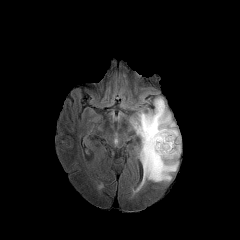
FLAIR MR.
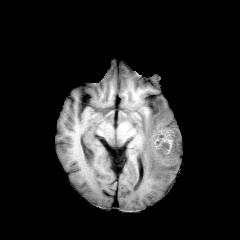
T1-weighted magnetic resonance of the same slice.
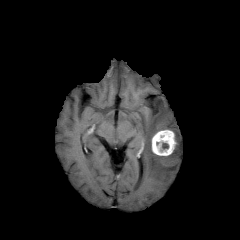
Post-contrast T1-weighted MR image of the same slice.
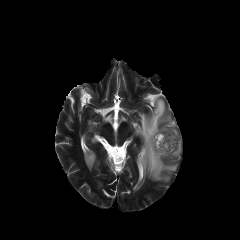
T2-weighted MR image.
Axial slice | Brain
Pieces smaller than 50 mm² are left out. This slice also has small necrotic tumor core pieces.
{"enhancing_tumor": ["151:129:177:155"], "peritumoral_edema": ["132:97:181:184"]}